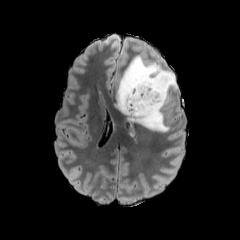
FLAIR magnetic resonance.
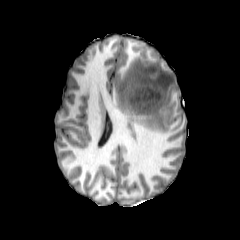
T1-weighted MRI.
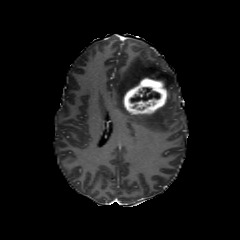
Post-contrast T1-weighted MR image of the same slice.
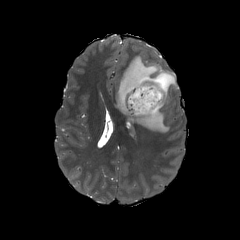
T2-weighted MR of the same slice.
Axial slice
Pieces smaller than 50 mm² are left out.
peritumoral_edema:
  - <bbox>114, 55, 177, 132</bbox>
necrotic_tumor_core:
  - <bbox>130, 87, 160, 102</bbox>
enhancing_tumor:
  - <bbox>123, 77, 168, 114</bbox>